FLAIR magnetic resonance.
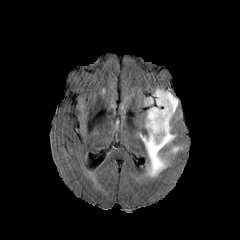
T1-weighted MR image.
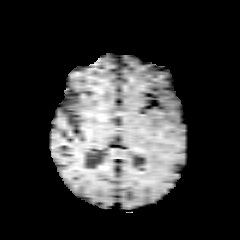
Post-contrast T1-weighted MR.
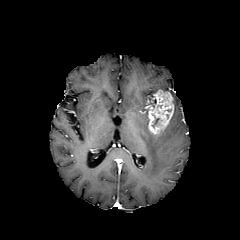
T2-weighted MRI.
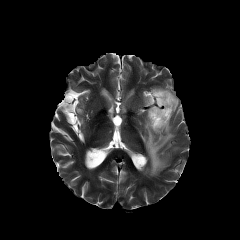
Brain. Axial plane. 240x240.
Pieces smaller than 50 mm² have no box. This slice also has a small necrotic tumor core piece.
enhancing tumor: bounding box <box>146,89,174,134</box>
peritumoral edema: bounding box <box>171,93,178,115</box>, <box>140,111,175,176</box>